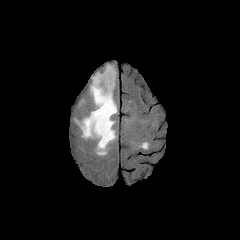
FLAIR MRI.
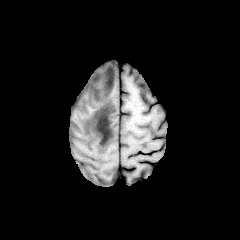
T1-weighted MR.
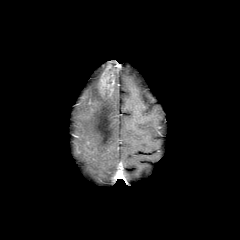
Post-contrast T1-weighted MR.
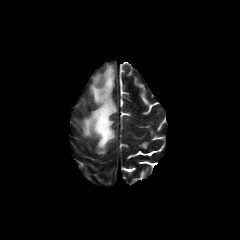
T2-weighted MRI.
Head | 240x240 px
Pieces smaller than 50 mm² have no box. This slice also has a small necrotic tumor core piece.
The largest peritumoral edema region appears at [80, 72, 117, 154]. The enhancing tumor is at [100, 64, 114, 95].